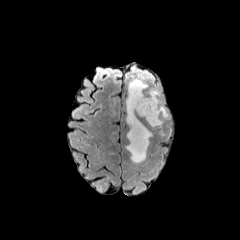
FLAIR magnetic resonance.
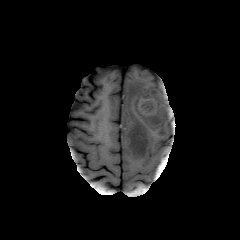
T1-weighted MR image of the same slice.
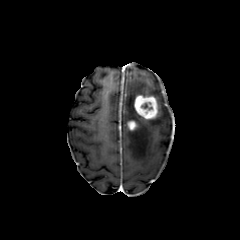
Post-contrast T1-weighted MRI.
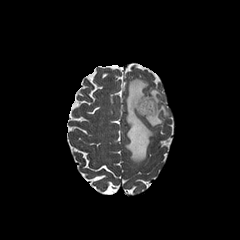
T2-weighted MR of the same slice.
240x240. Axial view.
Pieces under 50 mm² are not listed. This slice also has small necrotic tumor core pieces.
enhancing_tumor:
  - <bbox>127, 120, 137, 130</bbox>
  - <bbox>134, 95, 158, 119</bbox>
peritumoral_edema:
  - <bbox>147, 89, 169, 127</bbox>
  - <bbox>126, 79, 152, 163</bbox>